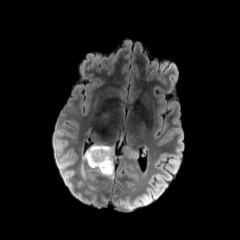
FLAIR magnetic resonance.
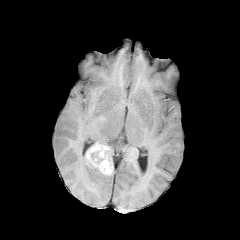
Same slice, T1-weighted MR image.
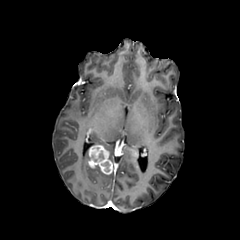
Post-contrast T1-weighted MRI of the same slice.
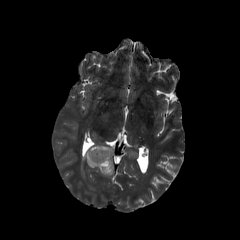
T2-weighted MR.
Brain
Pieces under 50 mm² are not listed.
The largest necrotic tumor core region lies within x1=101, y1=161, x2=109, y2=171. 2 enhancing tumor regions are located at x1=126, y1=148, x2=138, y2=159; x1=88, y1=145, x2=113, y2=174. 4 peritumoral edema regions are bounded by x1=82, y1=148, x2=89, y2=162; x1=81, y1=163, x2=87, y2=178; x1=90, y1=142, x2=114, y2=163; x1=88, y1=166, x2=114, y2=178.